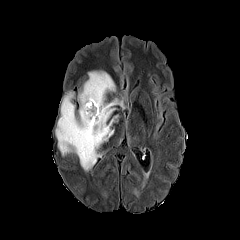
FLAIR MR.
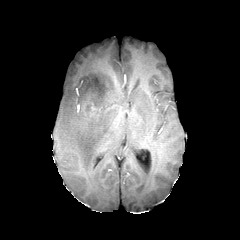
Same slice, T1-weighted MR image.
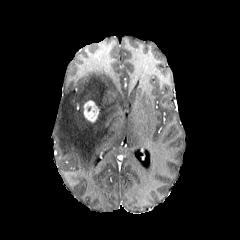
Post-contrast T1-weighted magnetic resonance.
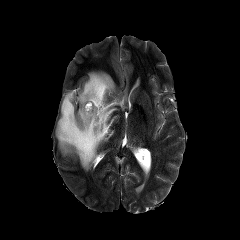
T2-weighted MRI of the same slice.
Brain
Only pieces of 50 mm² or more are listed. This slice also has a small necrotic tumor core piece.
The peritumoral edema appears at 55 71 124 171. The enhancing tumor is bounded by 83 100 99 122.